Slice 120 of 155. Image covers 240 mm x 240 mm.
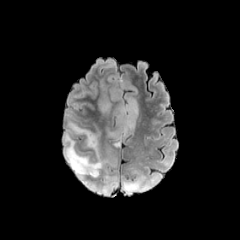
FLAIR magnetic resonance.
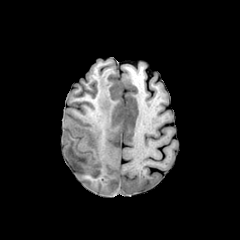
Same slice, T1-weighted magnetic resonance.
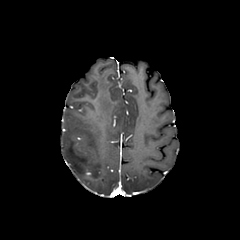
Post-contrast T1-weighted MRI.
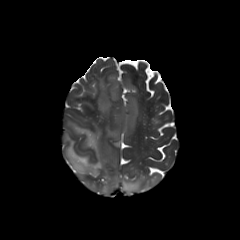
T2-weighted magnetic resonance.
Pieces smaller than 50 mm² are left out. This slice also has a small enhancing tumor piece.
peritumoral edema: bounding box bbox(99, 98, 111, 112); bbox(122, 175, 156, 194); bbox(108, 99, 137, 139); bbox(63, 121, 118, 195)